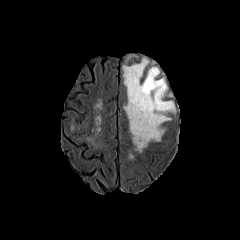
FLAIR magnetic resonance.
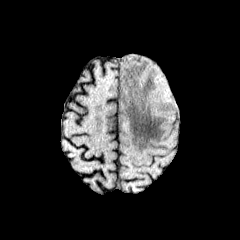
Same slice, T1-weighted MR.
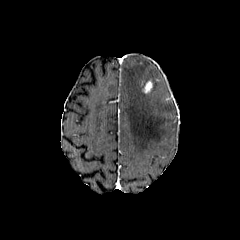
Post-contrast T1-weighted MR.
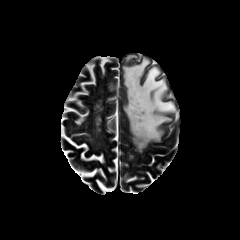
Same slice, T2-weighted MRI.
Axial plane
The peritumoral edema is located at x1=122 y1=58 x2=175 y2=152. The enhancing tumor is bounded by x1=143 y1=80 x2=152 y2=93.